Image covers 240 mm x 240 mm. Head. Slice 65 of 155. Axial plane.
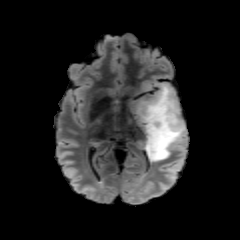
FLAIR MR image.
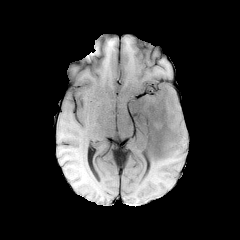
T1-weighted magnetic resonance.
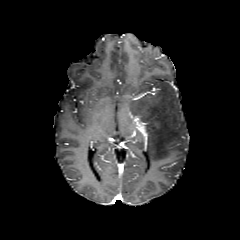
Post-contrast T1-weighted magnetic resonance of the same slice.
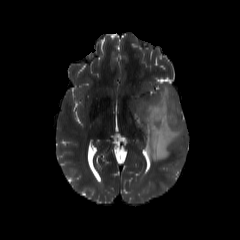
Same slice, T2-weighted MR image.
peritumoral edema: bounding box bbox(136, 84, 186, 161)